Head.
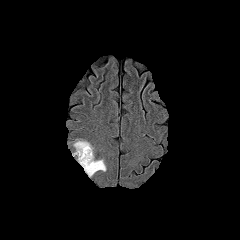
FLAIR magnetic resonance.
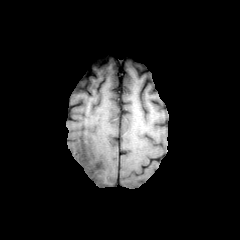
T1-weighted MRI.
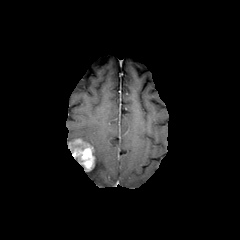
Same slice, post-contrast T1-weighted MRI.
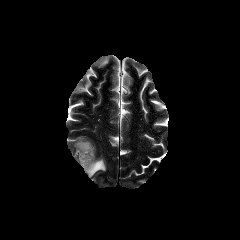
T2-weighted MR image.
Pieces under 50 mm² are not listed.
enhancing tumor at {"x1": 72, "y1": 139, "x2": 94, "y2": 171}
peritumoral edema at {"x1": 86, "y1": 159, "x2": 106, "y2": 177}